FLAIR magnetic resonance.
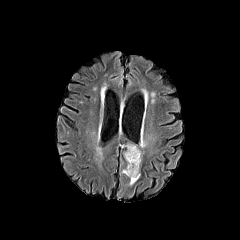
T1-weighted MRI.
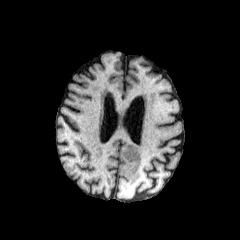
Post-contrast T1-weighted MRI.
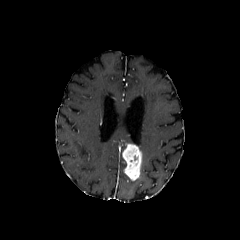
T2-weighted MRI.
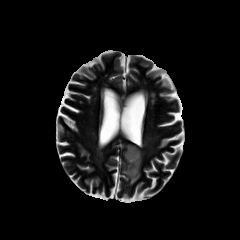
Head
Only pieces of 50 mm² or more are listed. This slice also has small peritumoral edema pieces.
Findings:
* enhancing tumor: x1=122 y1=143 x2=142 y2=180